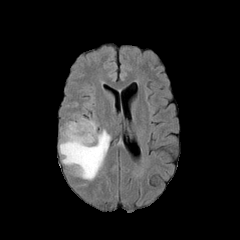
FLAIR MR image.
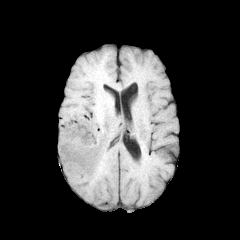
T1-weighted MR.
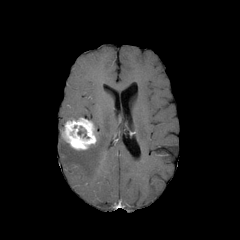
Post-contrast T1-weighted MRI.
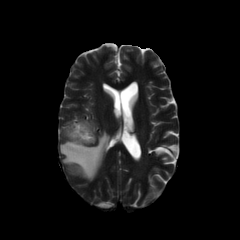
Same slice, T2-weighted MR image.
240x240 px.
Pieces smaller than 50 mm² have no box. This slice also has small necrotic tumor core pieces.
The peritumoral edema is at (59,129,110,180). The enhancing tumor lies within (61,118,96,150).